FLAIR MR.
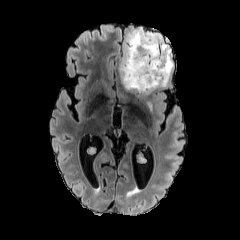
T1-weighted MR image.
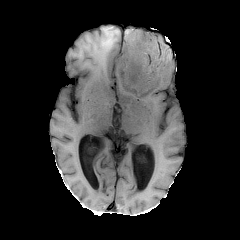
Post-contrast T1-weighted MRI.
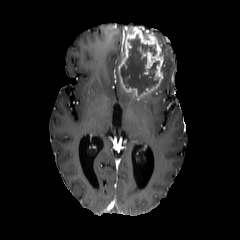
T2-weighted MR image.
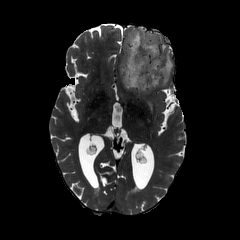
Axial slice
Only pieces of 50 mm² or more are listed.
The necrotic tumor core is at rect(120, 35, 159, 96). The largest peritumoral edema region is bounded by rect(154, 33, 173, 86). The enhancing tumor lies within rect(118, 27, 164, 97).